Head
FLAIR magnetic resonance.
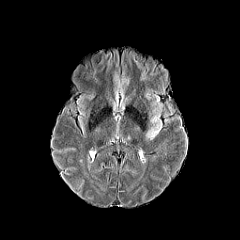
T1-weighted MRI.
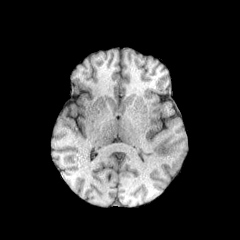
Post-contrast T1-weighted MR image.
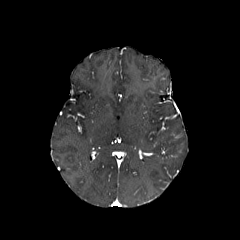
T2-weighted magnetic resonance.
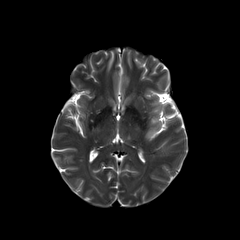
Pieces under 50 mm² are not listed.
• peritumoral edema: x1=147 y1=125 x2=160 y2=137